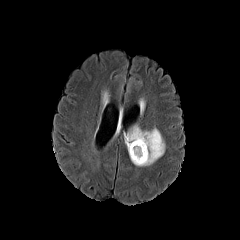
FLAIR MRI.
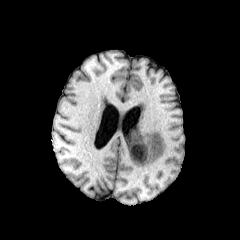
T1-weighted MR image.
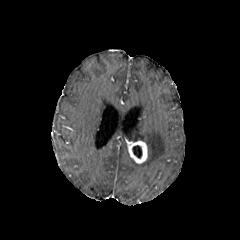
Post-contrast T1-weighted MR.
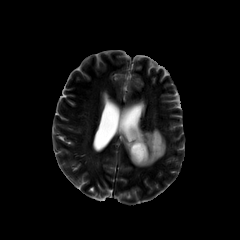
T2-weighted magnetic resonance.
Axial slice | 240x240 px
<segmentation>
  <enhancing_tumor>rect(127, 140, 147, 163)</enhancing_tumor>
  <peritumoral_edema>rect(125, 127, 165, 166)</peritumoral_edema>
  <necrotic_tumor_core>rect(132, 145, 142, 158)</necrotic_tumor_core>
</segmentation>